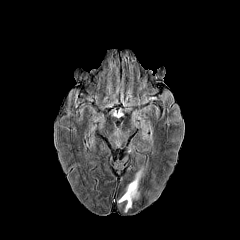
FLAIR MRI.
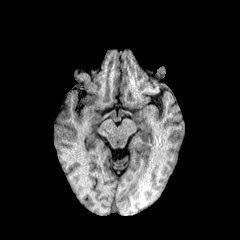
T1-weighted MRI of the same slice.
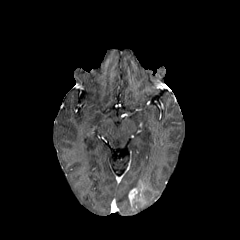
Same slice, post-contrast T1-weighted MR.
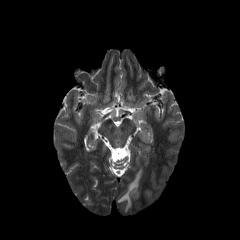
T2-weighted MR.
Head, Axial plane
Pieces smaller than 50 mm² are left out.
enhancing tumor: l=128, t=188, r=137, b=204
peritumoral edema: l=117, t=166, r=144, b=212